FLAIR MR image.
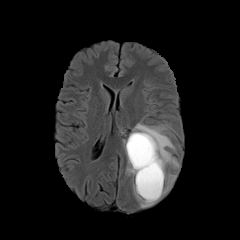
T1-weighted MR.
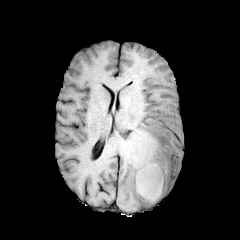
Post-contrast T1-weighted MR.
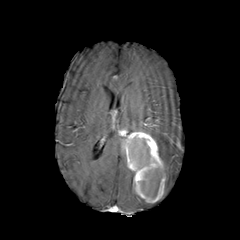
T2-weighted MR.
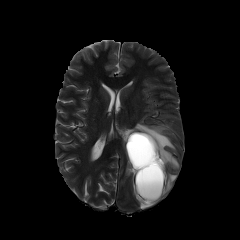
240x240.
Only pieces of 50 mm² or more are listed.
The enhancing tumor is at <box>124,131,166,203</box>. 2 necrotic tumor core regions appear at <box>138,167,161,198</box>, <box>127,135,155,170</box>. The 3 largest peritumoral edema regions are located at <box>126,167,134,181</box>, <box>132,122,179,194</box>, <box>133,188,154,207</box>.